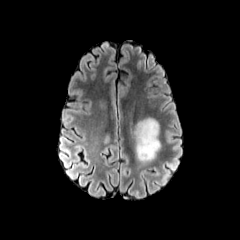
FLAIR MR image.
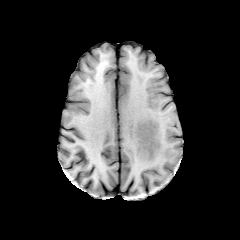
T1-weighted magnetic resonance of the same slice.
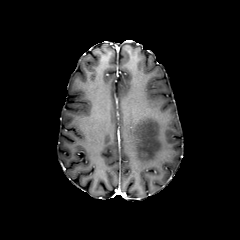
Post-contrast T1-weighted MRI.
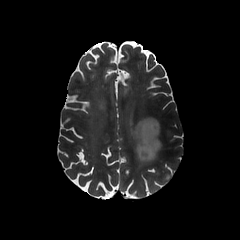
Same slice, T2-weighted MR image.
240x240
{
  "peritumoral_edema": [
    "(131, 117, 160, 168)"
  ]
}